Axial plane. Image size 240x240. Head. Image width 240 mm, 1.00 mm slice spacing.
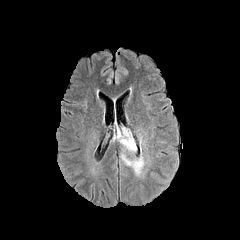
FLAIR magnetic resonance.
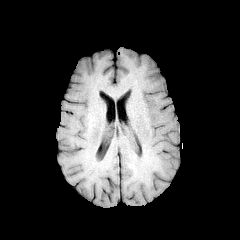
T1-weighted MRI of the same slice.
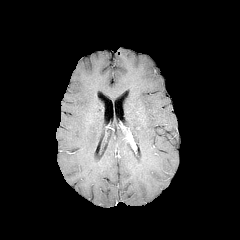
Post-contrast T1-weighted magnetic resonance.
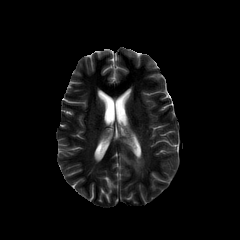
T2-weighted MR of the same slice.
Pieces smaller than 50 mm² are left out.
Segmented structures:
• peritumoral edema: box(122, 153, 143, 174); box(114, 126, 131, 151)